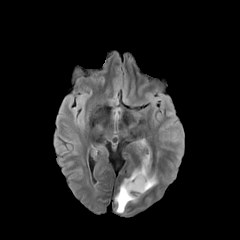
FLAIR magnetic resonance.
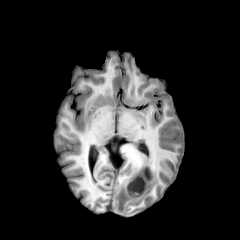
Same slice, T1-weighted magnetic resonance.
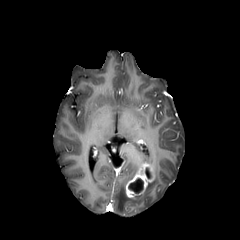
Same slice, post-contrast T1-weighted MR.
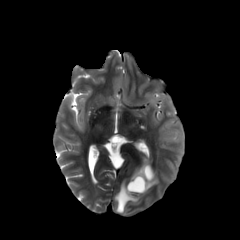
T2-weighted magnetic resonance.
Axial slice | Image size 240x240
<segmentation>
  <necrotic_tumor_core>region(145, 168, 151, 178); region(128, 178, 143, 193)</necrotic_tumor_core>
  <peritumoral_edema>region(143, 153, 149, 163); region(115, 169, 138, 213); region(145, 173, 157, 191)</peritumoral_edema>
  <enhancing_tumor>region(126, 163, 154, 197)</enhancing_tumor>
</segmentation>